Slice 74/155 | 240x240 px
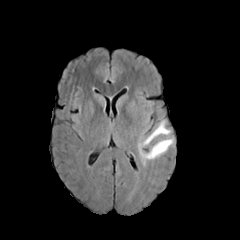
FLAIR MR image.
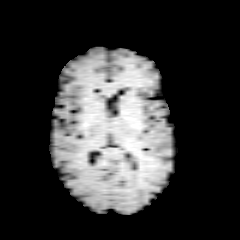
T1-weighted MR image.
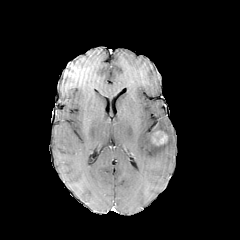
Post-contrast T1-weighted MR.
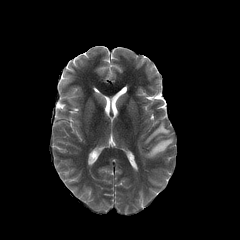
T2-weighted MRI.
The enhancing tumor lies within x1=153, y1=131, x2=167, y2=145. The peritumoral edema is located at x1=138, y1=120, x2=173, y2=163.